FLAIR magnetic resonance.
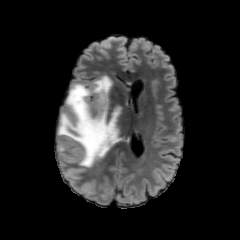
T1-weighted MR image.
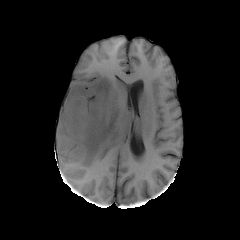
Post-contrast T1-weighted MR image.
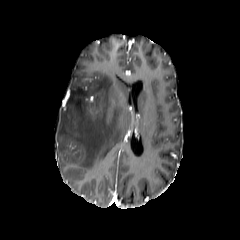
T2-weighted MR.
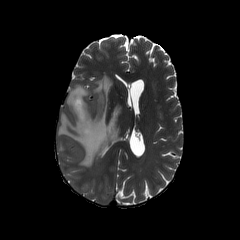
Axial plane, Brain
peritumoral edema: [59, 140, 65, 150], [58, 76, 121, 167]